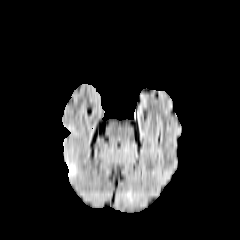
FLAIR magnetic resonance.
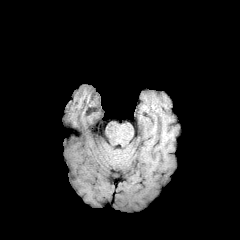
T1-weighted MR image.
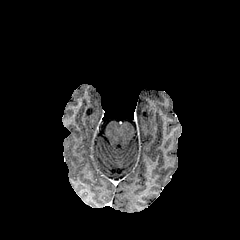
Post-contrast T1-weighted MR.
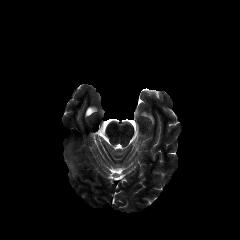
Same slice, T2-weighted MR.
Axial slice. Image size 240x240.
peritumoral edema: 66, 159, 76, 175